Slice 53/155
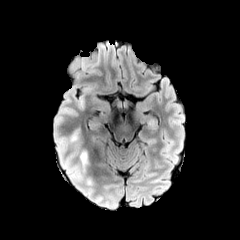
FLAIR MR image.
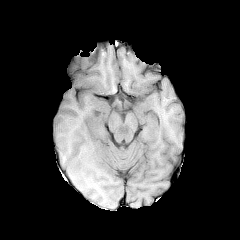
T1-weighted magnetic resonance of the same slice.
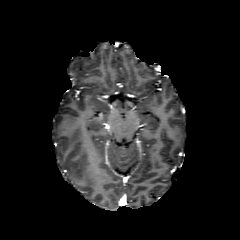
Post-contrast T1-weighted MR.
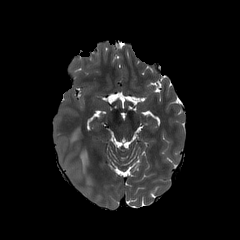
T2-weighted MR.
peritumoral edema: (80,151,87,174), (85,177,92,185), (70,128,79,142)